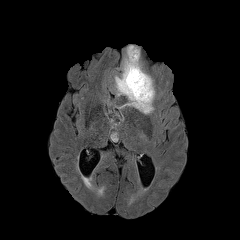
FLAIR MR.
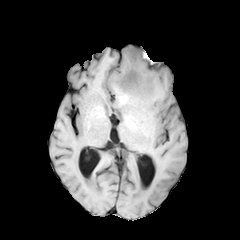
T1-weighted MR image.
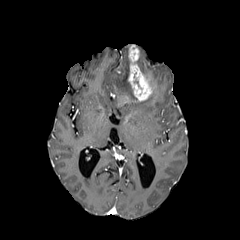
Post-contrast T1-weighted MRI of the same slice.
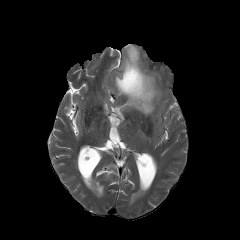
T2-weighted MR.
Head. Axial plane. Image size 240x240.
peritumoral_edema:
  - bbox(115, 47, 155, 113)
enhancing_tumor:
  - bbox(127, 45, 152, 101)